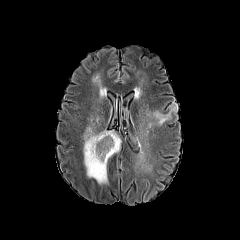
FLAIR MR image.
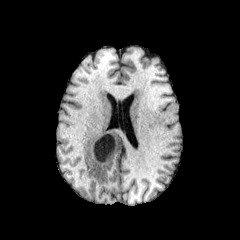
Same slice, T1-weighted MRI.
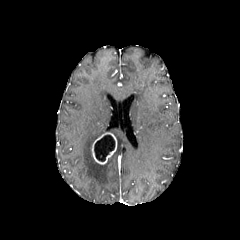
Post-contrast T1-weighted magnetic resonance.
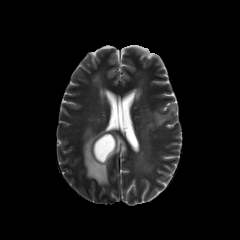
Same slice, T2-weighted MRI.
Image size 240x240 | Head
The necrotic tumor core lies within 94, 135, 114, 161. The enhancing tumor appears at 92, 132, 116, 164. 3 peritumoral edema regions are bounded by 83, 126, 107, 184; 145, 104, 177, 134; 109, 130, 121, 153.